Brain | Axial slice | Image width 240 mm, 1.00 mm slice spacing
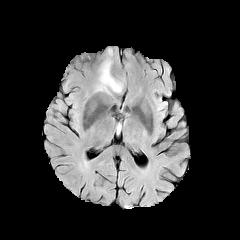
FLAIR MRI.
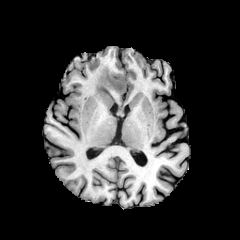
Same slice, T1-weighted MRI.
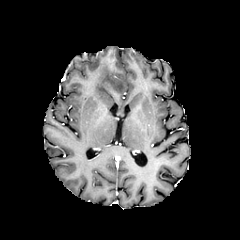
Same slice, post-contrast T1-weighted MR image.
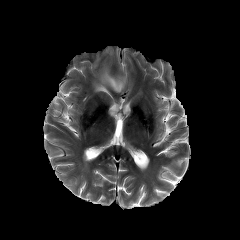
T2-weighted MR of the same slice.
Findings:
- peritumoral edema: 95:62:123:93